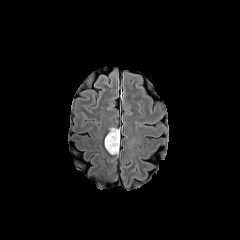
FLAIR MR.
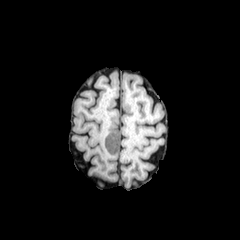
Same slice, T1-weighted MRI.
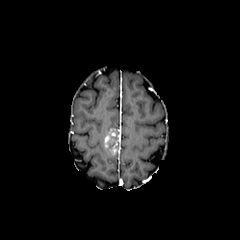
Same slice, post-contrast T1-weighted magnetic resonance.
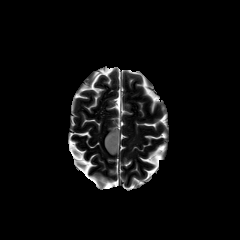
T2-weighted MR image.
Axial plane. Head.
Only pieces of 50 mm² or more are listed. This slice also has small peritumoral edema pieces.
necrotic tumor core at x1=106 y1=129 x2=118 y2=149
enhancing tumor at x1=104 y1=129 x2=115 y2=148, x1=109 y1=129 x2=120 y2=154